FLAIR MRI.
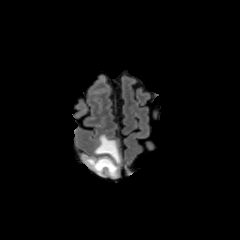
T1-weighted MR image.
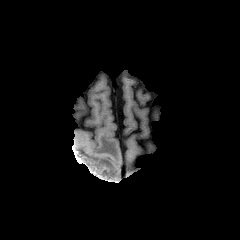
Post-contrast T1-weighted MR image.
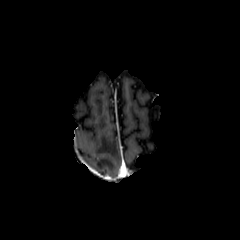
T2-weighted MR.
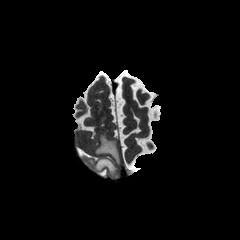
Image size 240x240, Head
Annotated regions:
• peritumoral edema: l=83, t=135, r=120, b=177